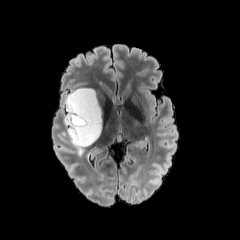
FLAIR MRI.
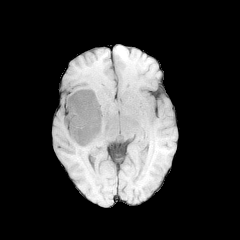
T1-weighted MRI.
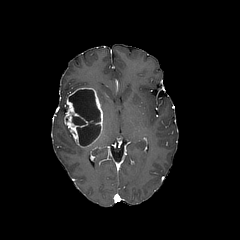
Post-contrast T1-weighted MR.
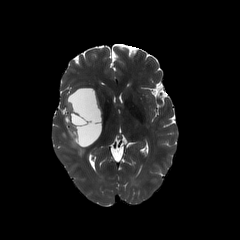
T2-weighted MR image of the same slice.
Axial plane | Head
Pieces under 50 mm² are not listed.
The largest peritumoral edema region is at [67,129,84,155]. The 2 largest necrotic tumor core regions are bounded by [69,89,100,145], [72,115,86,125]. The enhancing tumor lies within [64,87,102,147].